Image size 240x240, Brain, Axial view
FLAIR MR image.
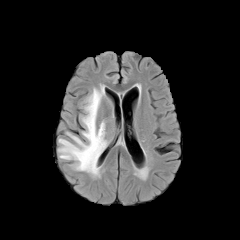
T1-weighted MRI.
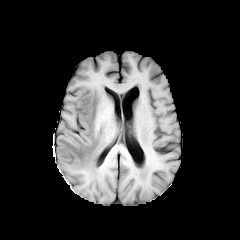
Post-contrast T1-weighted MRI.
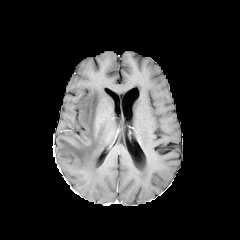
T2-weighted MR image.
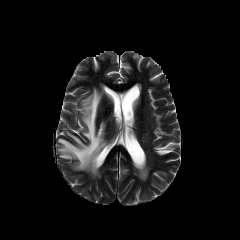
<segmentation>
  <peritumoral_edema>{"x1": 58, "y1": 85, "x2": 107, "y2": 176}</peritumoral_edema>
</segmentation>